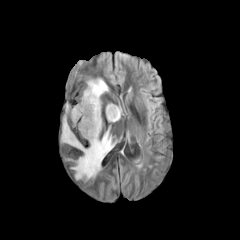
FLAIR MR image.
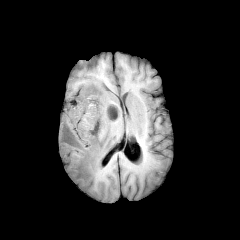
T1-weighted magnetic resonance.
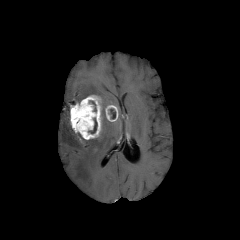
Same slice, post-contrast T1-weighted magnetic resonance.
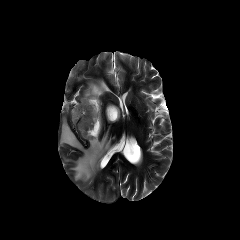
Same slice, T2-weighted magnetic resonance.
Brain
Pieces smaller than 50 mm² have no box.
enhancing_tumor:
  - (105, 105, 118, 121)
  - (70, 95, 101, 139)
necrotic_tumor_core:
  - (89, 118, 97, 133)
peritumoral_edema:
  - (82, 78, 108, 99)
  - (61, 115, 114, 181)